240x240; Slice 103 of 155; Image covers 240 mm x 240 mm; Brain
FLAIR magnetic resonance.
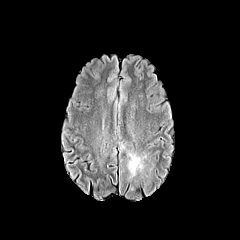
T1-weighted MR image.
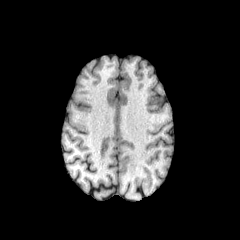
Post-contrast T1-weighted magnetic resonance.
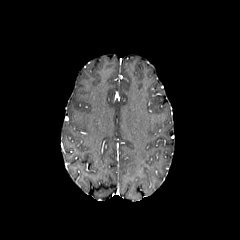
T2-weighted magnetic resonance.
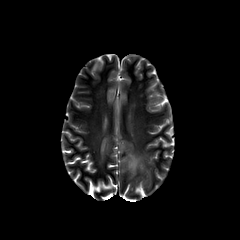
The peritumoral edema appears at [128,153,142,176].